Slice 59 of 155, Axial view
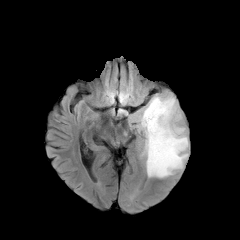
FLAIR MR image.
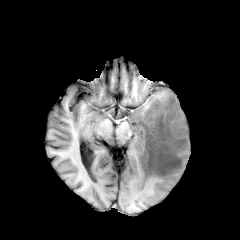
T1-weighted MR of the same slice.
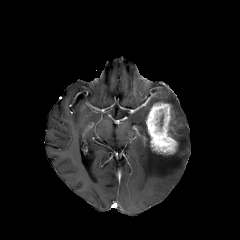
Same slice, post-contrast T1-weighted MRI.
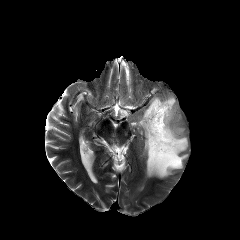
T2-weighted magnetic resonance of the same slice.
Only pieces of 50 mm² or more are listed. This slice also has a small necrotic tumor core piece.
enhancing tumor = 145:102:180:155
peritumoral edema = 130:94:188:178